Image size 240x240; Head
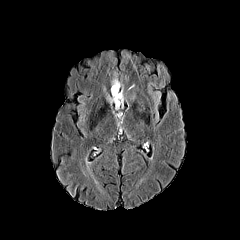
FLAIR magnetic resonance.
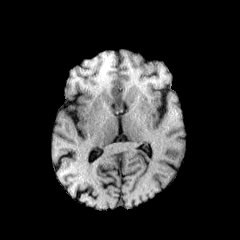
Same slice, T1-weighted magnetic resonance.
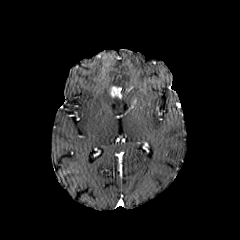
Post-contrast T1-weighted magnetic resonance.
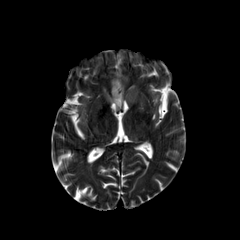
Same slice, T2-weighted MR image.
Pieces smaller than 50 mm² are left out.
<segmentation>
  <enhancing_tumor>l=110, t=86, r=122, b=99</enhancing_tumor>
  <peritumoral_edema>l=112, t=77, r=120, b=86; l=107, t=95, r=124, b=109</peritumoral_edema>
</segmentation>